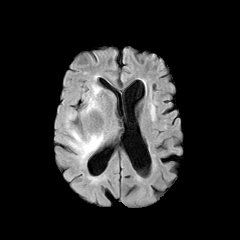
FLAIR magnetic resonance.
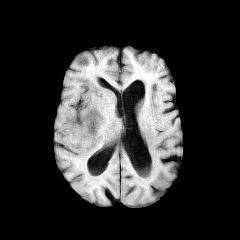
Same slice, T1-weighted MR image.
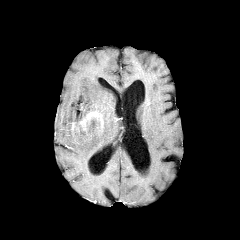
Post-contrast T1-weighted MR.
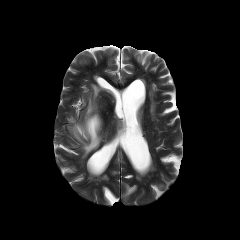
T2-weighted MR.
240x240 px | Head
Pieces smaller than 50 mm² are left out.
The largest enhancing tumor region is located at (71,110,101,132). The necrotic tumor core is bounded by (88,120,96,134). The 2 largest peritumoral edema regions are located at (80,84,101,119), (65,112,104,162).